FLAIR MRI.
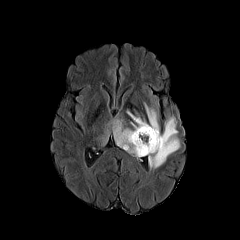
T1-weighted MRI.
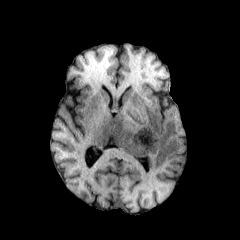
Post-contrast T1-weighted magnetic resonance.
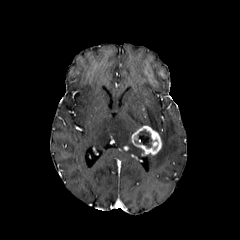
T2-weighted MR image.
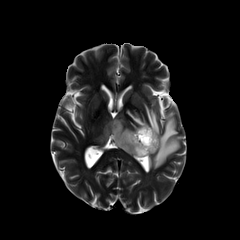
Axial view
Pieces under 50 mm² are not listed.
enhancing tumor: box=[131, 125, 162, 155] | peritumoral edema: box=[144, 103, 159, 134]; box=[148, 116, 180, 168]; box=[100, 129, 109, 144]; box=[110, 111, 147, 157] | necrotic tumor core: box=[135, 130, 152, 147]